Axial view | 240x240 px
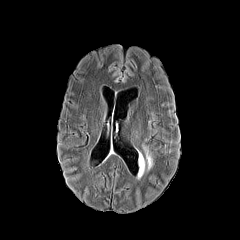
FLAIR MR image.
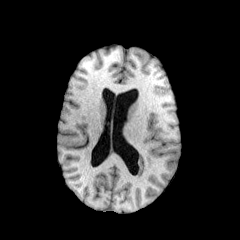
T1-weighted magnetic resonance.
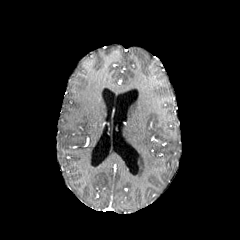
Post-contrast T1-weighted MR image.
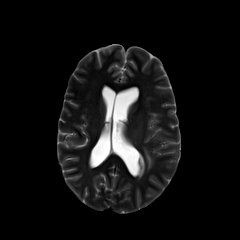
T2-weighted magnetic resonance.
<segmentation>
  <peritumoral_edema>145:148:152:169, 138:153:145:177</peritumoral_edema>
</segmentation>